Axial plane
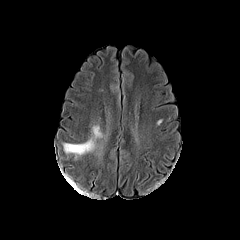
FLAIR MR image.
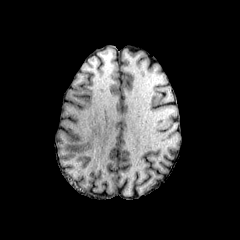
T1-weighted magnetic resonance.
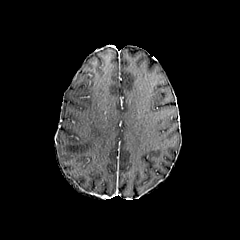
Post-contrast T1-weighted MR of the same slice.
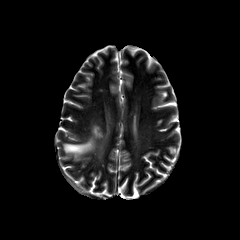
T2-weighted MRI.
- peritumoral edema: [63,125,102,158]